FLAIR MR image.
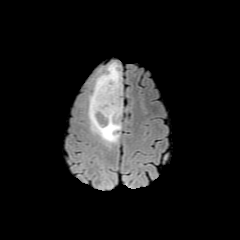
T1-weighted MRI.
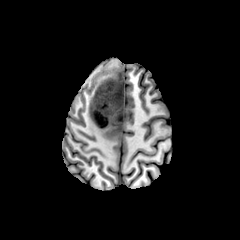
Post-contrast T1-weighted MR image.
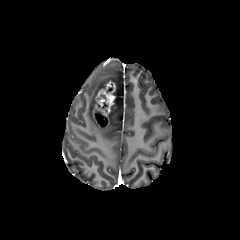
T2-weighted MR.
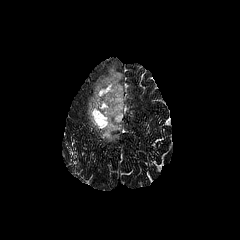
Brain
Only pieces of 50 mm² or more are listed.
enhancing tumor at rect(92, 81, 115, 128)
peritumoral edema at rect(88, 62, 122, 144)
necrotic tumor core at rect(96, 101, 107, 112); rect(93, 109, 107, 127)